Image size 240x240 | Head | Axial plane | Image width 240 mm, 1.00 mm slice spacing
FLAIR magnetic resonance.
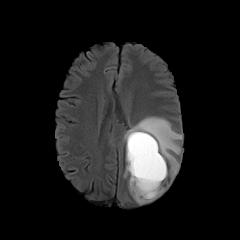
T1-weighted MR image.
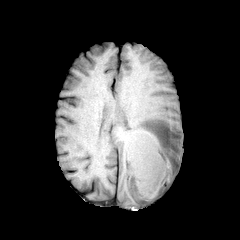
Post-contrast T1-weighted MR image.
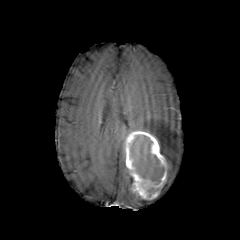
T2-weighted MR image.
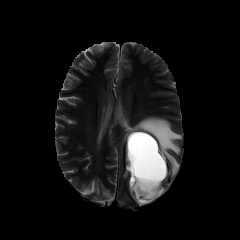
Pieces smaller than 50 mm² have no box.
Segmented structures:
- necrotic tumor core: 130 135 164 196
- enhancing tumor: 125 131 167 200
- peritumoral edema: 123 116 182 177, 124 167 153 204